Slice 106 of 155
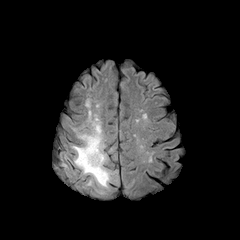
FLAIR MRI.
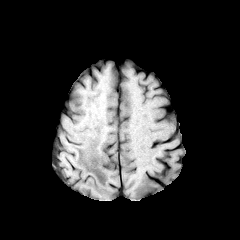
T1-weighted magnetic resonance.
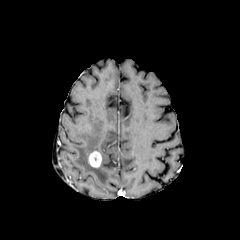
Post-contrast T1-weighted magnetic resonance of the same slice.
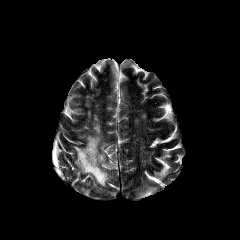
T2-weighted MR image of the same slice.
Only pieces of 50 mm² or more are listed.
The largest peritumoral edema region is located at <box>72,111,111,187</box>. The enhancing tumor is located at <box>88,151,102,167</box>.